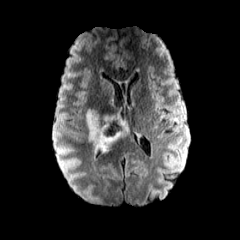
FLAIR magnetic resonance.
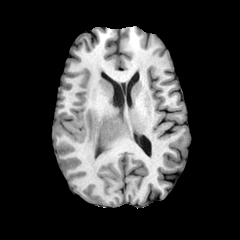
T1-weighted MR image.
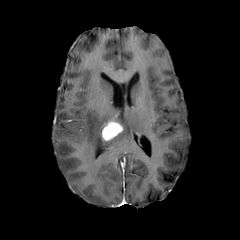
Post-contrast T1-weighted MR image.
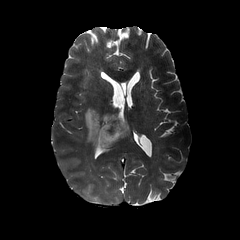
T2-weighted MR.
Axial slice, Brain
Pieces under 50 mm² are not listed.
peritumoral edema: 86,107,129,155 | enhancing tumor: 101,120,123,141